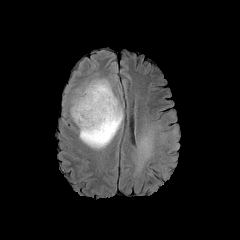
FLAIR magnetic resonance.
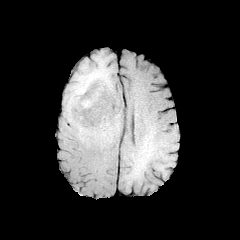
T1-weighted MR of the same slice.
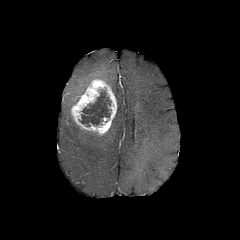
Post-contrast T1-weighted MR.
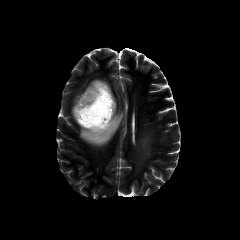
Same slice, T2-weighted magnetic resonance.
Axial plane
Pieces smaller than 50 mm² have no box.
Findings:
* peritumoral edema: bbox(69, 78, 123, 149); bbox(134, 122, 179, 174)
* enhancing tumor: bbox(71, 79, 116, 135)
* necrotic tumor core: bbox(79, 90, 111, 126)